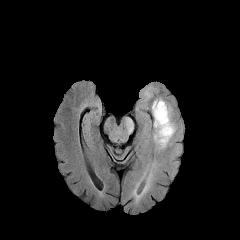
FLAIR magnetic resonance.
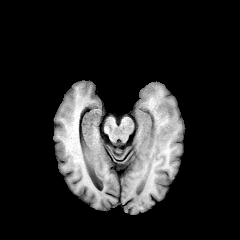
T1-weighted magnetic resonance.
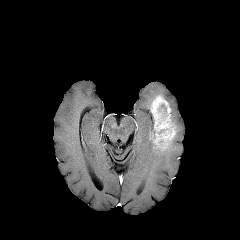
Post-contrast T1-weighted MR.
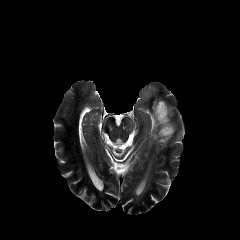
T2-weighted MR image.
240x240 px, Axial slice, Head
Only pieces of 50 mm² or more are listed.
peritumoral edema — (149, 103, 154, 142), (155, 137, 173, 149)
enhancing tumor — (151, 96, 175, 147)
necrotic tumor core — (159, 104, 166, 118)